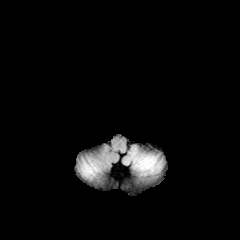
FLAIR MR image.
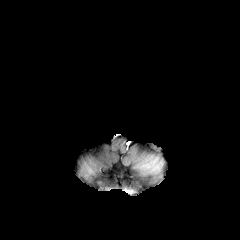
Same slice, T1-weighted MR.
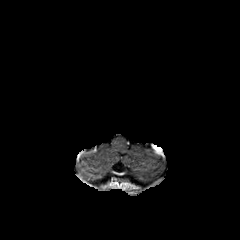
Post-contrast T1-weighted MR.
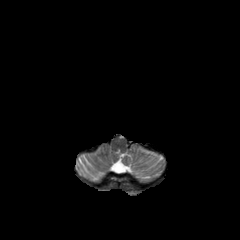
T2-weighted MR.
Head | Axial view
peritumoral_edema:
  - box=[145, 158, 155, 168]